240x240. Slice 113/155. Image width 240 mm. Brain. Axial plane.
FLAIR MR.
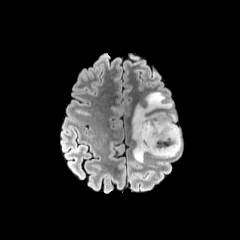
T1-weighted MRI.
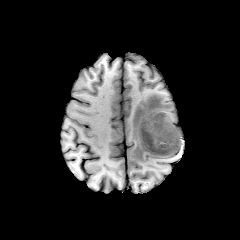
Post-contrast T1-weighted MRI.
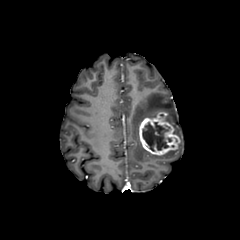
T2-weighted MRI.
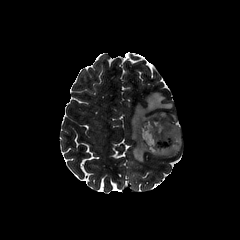
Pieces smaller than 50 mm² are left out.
Annotated regions:
- necrotic tumor core: {"x1": 142, "y1": 122, "x2": 170, "y2": 151}
- peritumoral edema: {"x1": 151, "y1": 139, "x2": 181, "y2": 157}, {"x1": 131, "y1": 92, "x2": 180, "y2": 162}
- enhancing tumor: {"x1": 139, "y1": 112, "x2": 180, "y2": 155}